Image size 240x240. Brain.
FLAIR MR.
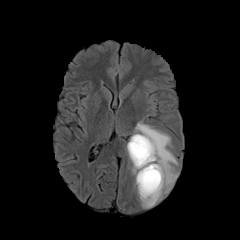
T1-weighted MR image.
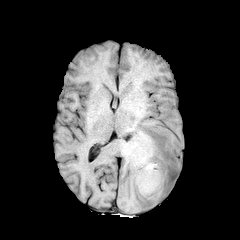
Post-contrast T1-weighted MR image.
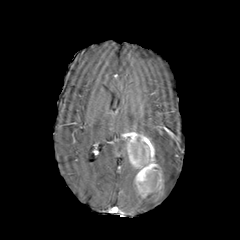
T2-weighted magnetic resonance.
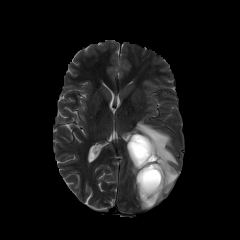
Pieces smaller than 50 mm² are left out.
{"peritumoral_edema": ["x1=133, y1=121, x2=178, y2=208", "x1=131, y1=164, x2=138, y2=177"], "necrotic_tumor_core": ["x1=141, y1=168, x2=158, y2=187", "x1=131, y1=138, x2=149, y2=163"], "enhancing_tumor": ["x1=127, y1=132, x2=155, y2=168", "x1=135, y1=163, x2=163, y2=198"]}